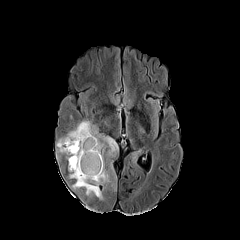
FLAIR MR image.
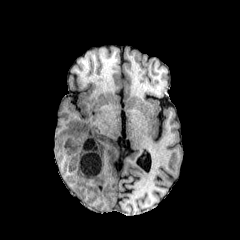
Same slice, T1-weighted MRI.
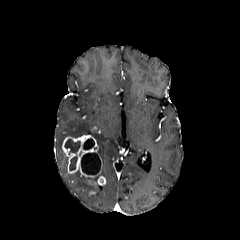
Post-contrast T1-weighted magnetic resonance.
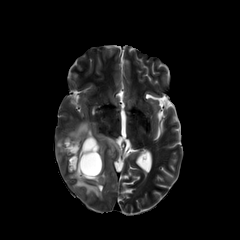
T2-weighted magnetic resonance.
Brain.
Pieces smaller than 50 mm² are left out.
<segmentation>
  <enhancing_tumor><box>62,135,105,185</box></enhancing_tumor>
  <necrotic_tumor_core><box>69,156,77,170</box>, <box>83,138,94,149</box>, <box>65,139,80,154</box>, <box>81,153,101,175</box></necrotic_tumor_core>
  <peritumoral_edema><box>56,137,65,154</box>, <box>66,120,118,183</box>, <box>69,171,103,199</box></peritumoral_edema>
</segmentation>